Slice 70/155. Image size 240x240.
FLAIR MR.
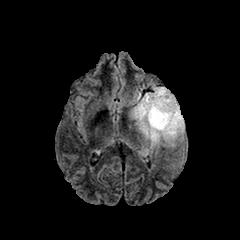
T1-weighted MR image.
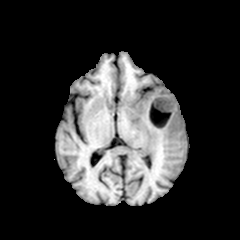
Post-contrast T1-weighted MR.
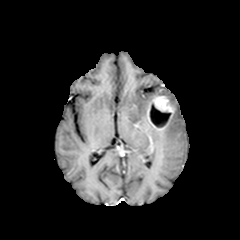
T2-weighted MR.
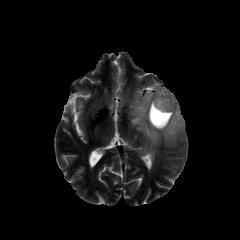
<segmentation>
  <peritumoral_edema>box(130, 85, 184, 156)</peritumoral_edema>
  <enhancing_tumor>box(147, 96, 174, 130)</enhancing_tumor>
  <necrotic_tumor_core>box(150, 103, 171, 127)</necrotic_tumor_core>
</segmentation>